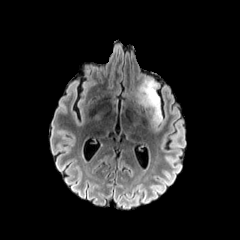
FLAIR MRI.
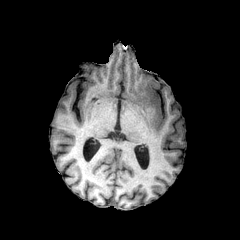
T1-weighted magnetic resonance of the same slice.
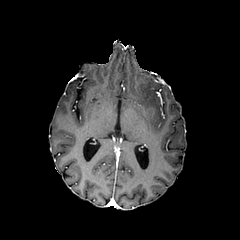
Post-contrast T1-weighted MR.
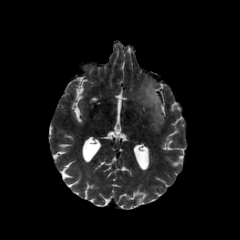
T2-weighted MR image.
Axial slice
peritumoral edema: x1=137, y1=78, x2=162, y2=128